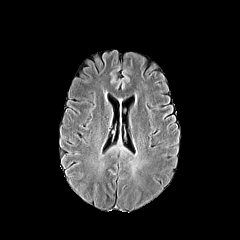
FLAIR MR.
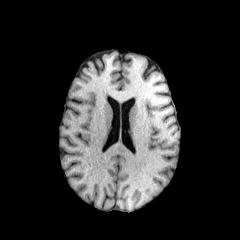
T1-weighted MRI of the same slice.
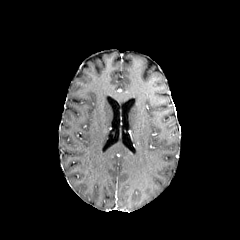
Same slice, post-contrast T1-weighted MRI.
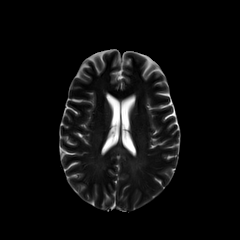
T2-weighted MRI.
Brain
peritumoral edema: (x1=130, y1=159, x2=139, y2=173)